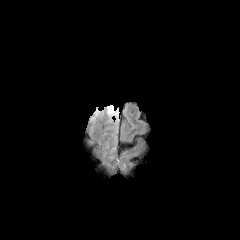
FLAIR magnetic resonance.
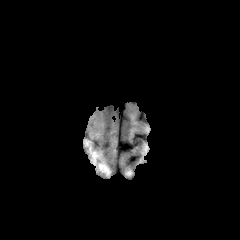
T1-weighted MR image of the same slice.
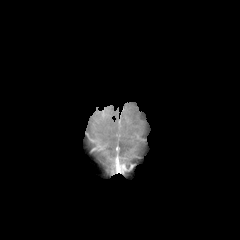
Post-contrast T1-weighted MRI.
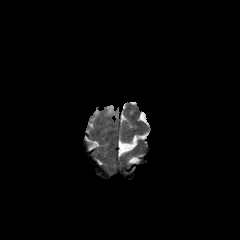
Same slice, T2-weighted MR image.
2 peritumoral edema regions are bounded by l=107, t=105, r=117, b=116; l=91, t=109, r=99, b=120.